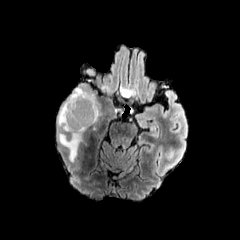
FLAIR MR image.
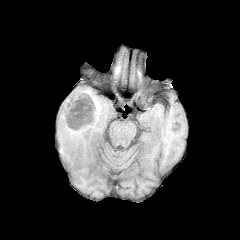
T1-weighted MR image.
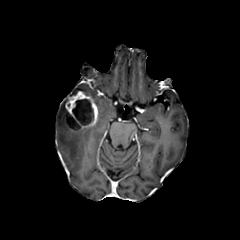
Post-contrast T1-weighted MR.
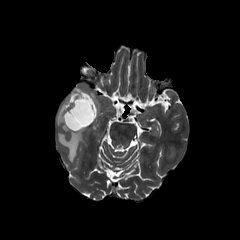
T2-weighted MR image of the same slice.
Brain
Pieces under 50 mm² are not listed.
enhancing tumor = 65:91:98:131
necrotic tumor core = 66:113:80:129, 72:99:93:125
peritumoral edema = 57:98:86:161, 69:86:99:115